240x240; Brain; Axial slice
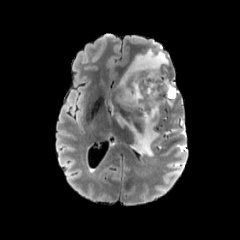
FLAIR MRI.
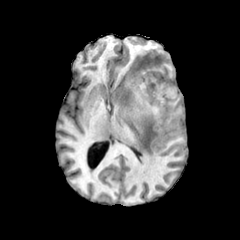
T1-weighted MR image.
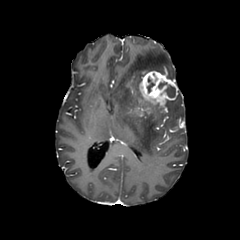
Post-contrast T1-weighted MRI.
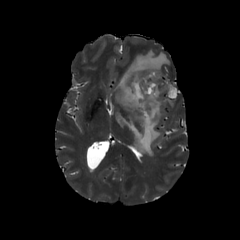
Same slice, T2-weighted magnetic resonance.
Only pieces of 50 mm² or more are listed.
<segmentation>
  <enhancing_tumor>region(139, 71, 178, 106)</enhancing_tumor>
  <peritumoral_edema>region(116, 49, 168, 156)</peritumoral_edema>
  <necrotic_tumor_core>region(165, 85, 175, 97)</necrotic_tumor_core>
</segmentation>